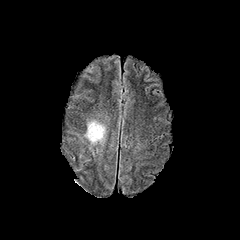
FLAIR MR image.
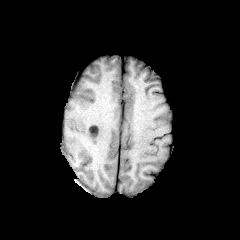
T1-weighted MR image of the same slice.
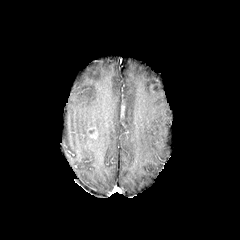
Post-contrast T1-weighted magnetic resonance of the same slice.
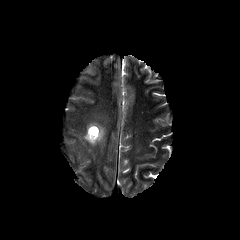
T2-weighted MR image.
Brain
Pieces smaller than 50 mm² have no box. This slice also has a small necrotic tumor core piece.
peritumoral edema: l=86, t=121, r=104, b=143 | enhancing tumor: l=88, t=127, r=97, b=138